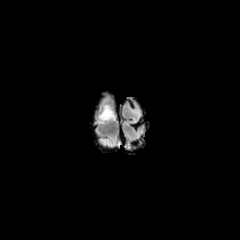
FLAIR magnetic resonance.
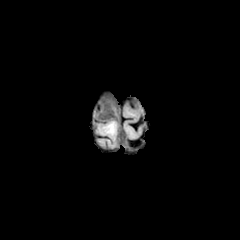
T1-weighted MR of the same slice.
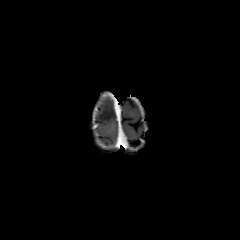
Post-contrast T1-weighted MR image.
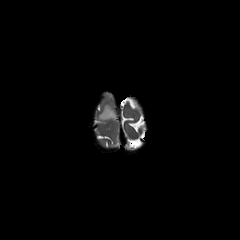
T2-weighted MRI.
Image size 240x240.
The peritumoral edema is at x1=96 y1=102 x2=115 y2=124.